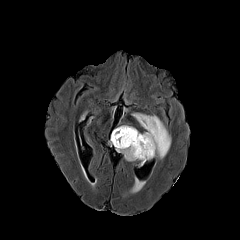
FLAIR MRI.
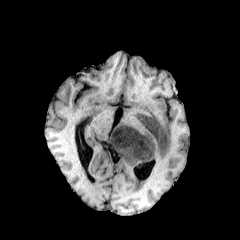
Same slice, T1-weighted MRI.
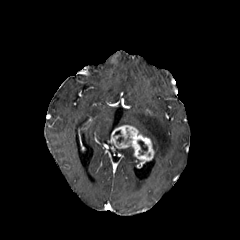
Post-contrast T1-weighted magnetic resonance.
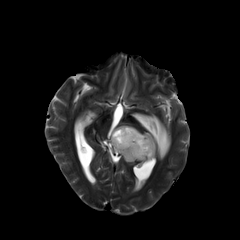
T2-weighted magnetic resonance.
Axial slice
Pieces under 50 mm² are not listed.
The largest necrotic tumor core region is at (138, 140, 147, 154). The enhancing tumor is bounded by (110, 125, 154, 161). 2 peritumoral edema regions are located at (116, 148, 137, 161), (132, 113, 171, 159).